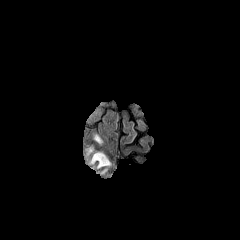
FLAIR MR.
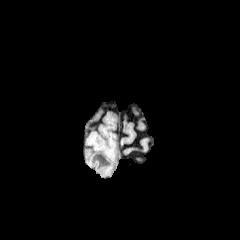
Same slice, T1-weighted magnetic resonance.
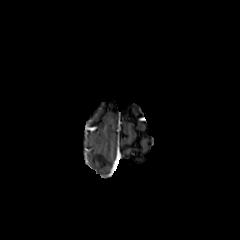
Post-contrast T1-weighted MRI.
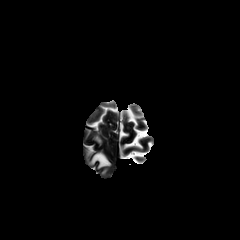
Same slice, T2-weighted MRI.
Head, Axial plane, Image size 240x240
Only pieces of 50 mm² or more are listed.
{"peritumoral_edema": ["91,152,110,167"]}